Axial view.
FLAIR magnetic resonance.
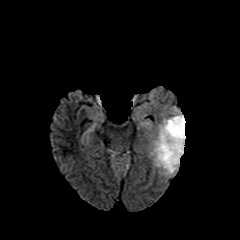
T1-weighted magnetic resonance.
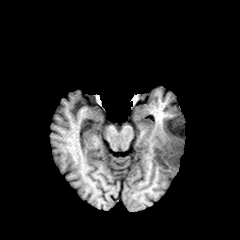
Post-contrast T1-weighted MR.
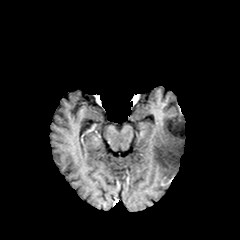
T2-weighted magnetic resonance.
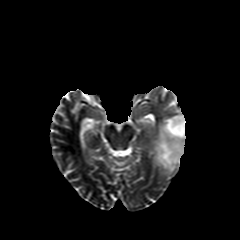
The peritumoral edema is at <box>150,107,185,174</box>.